Brain
FLAIR MR.
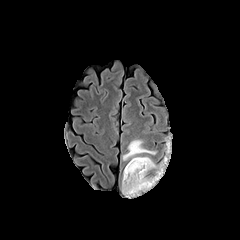
T1-weighted magnetic resonance.
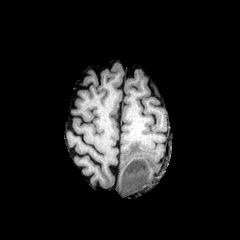
Post-contrast T1-weighted MR image.
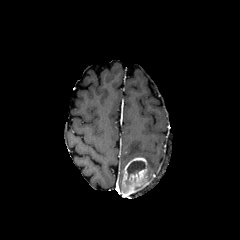
T2-weighted MR image.
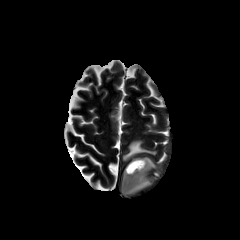
enhancing tumor: region(121, 157, 152, 197) | necrotic tumor core: region(127, 161, 145, 178) | peritumoral edema: region(144, 156, 157, 169); region(122, 139, 156, 160)